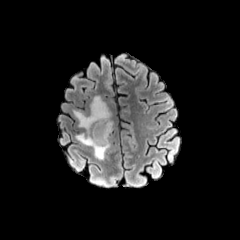
FLAIR MR.
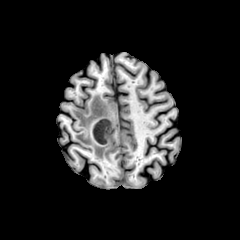
T1-weighted MR.
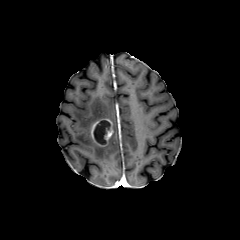
Post-contrast T1-weighted MRI.
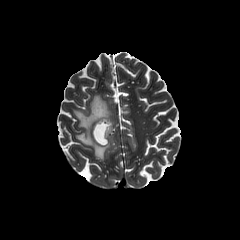
Same slice, T2-weighted MR.
Axial view.
The peritumoral edema is located at (x1=73, y1=95, x2=113, y2=159). The enhancing tumor lies within (x1=91, y1=118, x2=113, y2=146). The necrotic tumor core lies within (x1=93, y1=120, x2=110, y2=144).